FLAIR MRI.
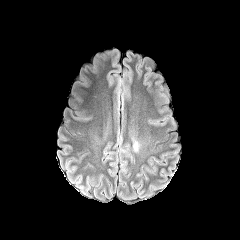
T1-weighted MRI.
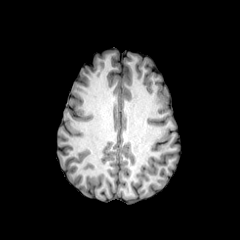
Post-contrast T1-weighted magnetic resonance.
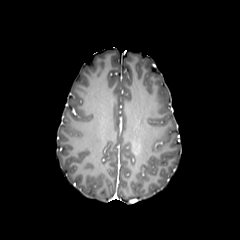
T2-weighted MRI.
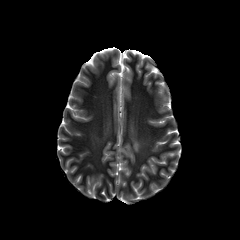
240x240 px
• peritumoral edema: box(132, 137, 141, 152)